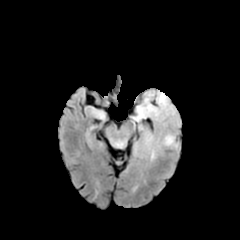
FLAIR MR image.
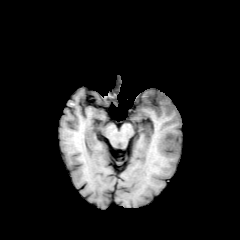
T1-weighted magnetic resonance.
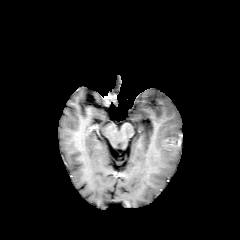
Same slice, post-contrast T1-weighted magnetic resonance.
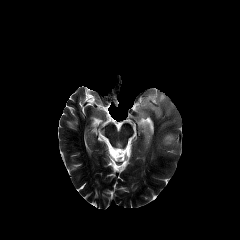
T2-weighted MRI of the same slice.
Image size 240x240, Head
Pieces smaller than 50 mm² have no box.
<segmentation>
  <peritumoral_edema>l=157, t=133, r=180, b=153; l=132, t=89, r=179, b=125; l=139, t=124, r=155, b=160</peritumoral_edema>
  <enhancing_tumor>l=165, t=138, r=179, b=147</enhancing_tumor>
</segmentation>